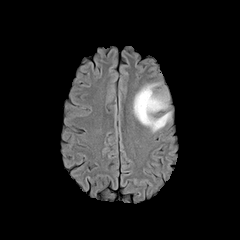
FLAIR MR.
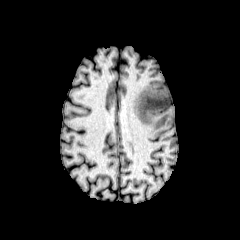
T1-weighted MRI.
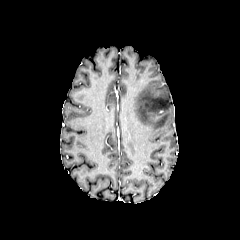
Post-contrast T1-weighted magnetic resonance.
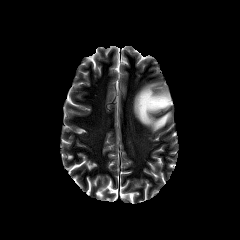
T2-weighted MR image of the same slice.
Axial view | Head
peritumoral edema — l=133, t=82, r=171, b=132